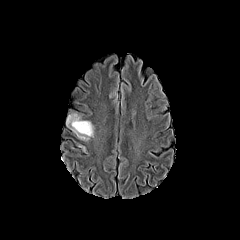
FLAIR magnetic resonance.
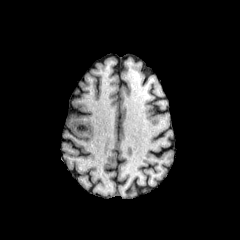
Same slice, T1-weighted magnetic resonance.
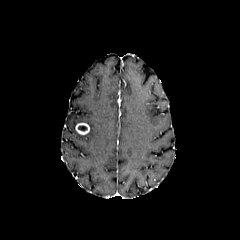
Same slice, post-contrast T1-weighted magnetic resonance.
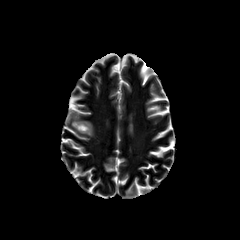
Same slice, T2-weighted MR image.
Axial view | Head
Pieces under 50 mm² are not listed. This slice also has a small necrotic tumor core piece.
peritumoral edema = (66, 111, 94, 140)
enhancing tumor = (75, 123, 89, 134)